Head, Image width 240 mm, 1.00 mm slice spacing, Slice 69 of 155
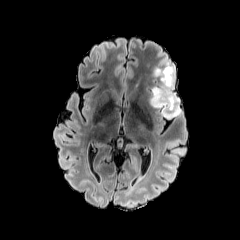
FLAIR MR image.
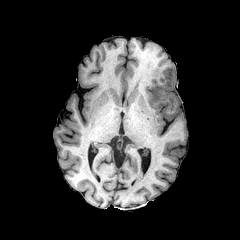
T1-weighted magnetic resonance.
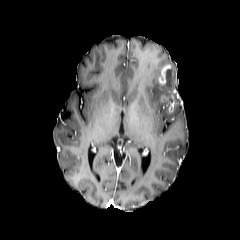
Post-contrast T1-weighted magnetic resonance.
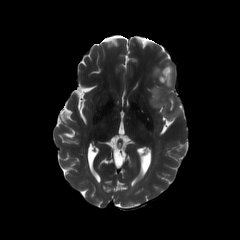
T2-weighted MR.
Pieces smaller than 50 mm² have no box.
{
  "necrotic_tumor_core": [
    "166,69,172,86"
  ],
  "peritumoral_edema": [
    "149,60,181,118"
  ],
  "enhancing_tumor": [
    "160,64,174,87",
    "161,95,175,111"
  ]
}